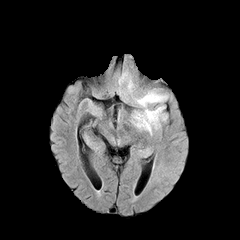
FLAIR magnetic resonance.
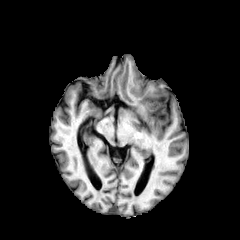
T1-weighted MR image.
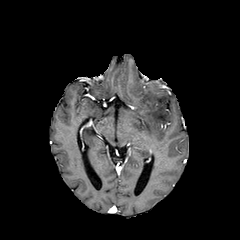
Same slice, post-contrast T1-weighted magnetic resonance.
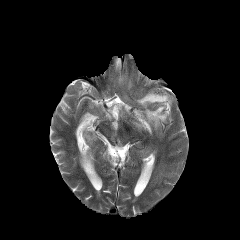
T2-weighted magnetic resonance.
Head, 240x240 px
peritumoral edema — (133,89,168,134), (119,73,132,90)